Slice index 92, Brain, Axial view
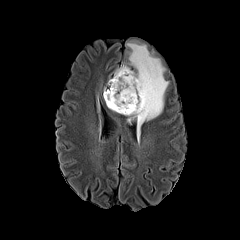
FLAIR MRI.
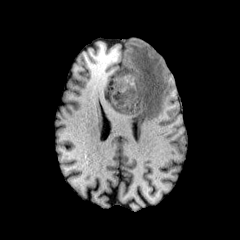
T1-weighted MR image.
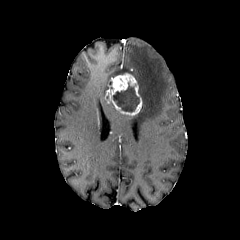
Same slice, post-contrast T1-weighted MRI.
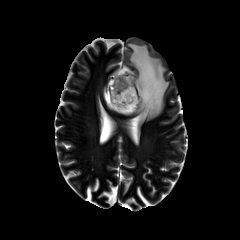
T2-weighted magnetic resonance.
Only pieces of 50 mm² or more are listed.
peritumoral edema — l=114, t=43, r=168, b=129
enhancing tumor — l=104, t=72, r=142, b=116
necrotic tumor core — l=113, t=83, r=139, b=111